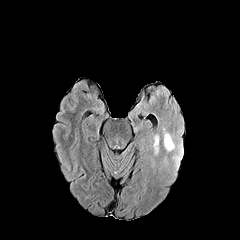
FLAIR MR.
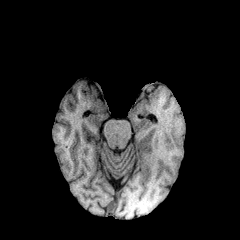
T1-weighted magnetic resonance.
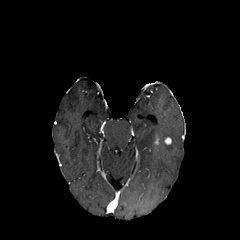
Same slice, post-contrast T1-weighted MR image.
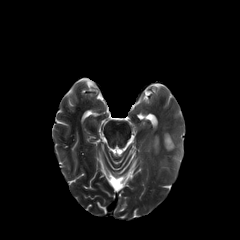
T2-weighted magnetic resonance of the same slice.
240x240 px, Axial plane
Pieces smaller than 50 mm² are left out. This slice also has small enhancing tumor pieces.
The 2 largest peritumoral edema regions are bounded by 174:144:182:166, 164:139:175:150.